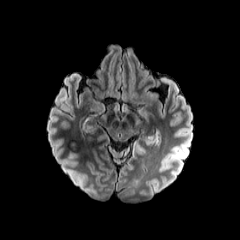
FLAIR MRI.
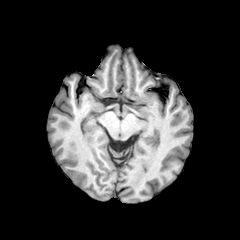
T1-weighted MRI.
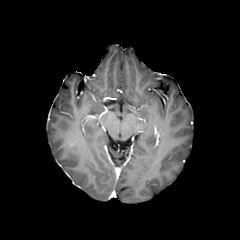
Post-contrast T1-weighted MR.
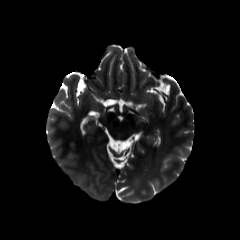
Same slice, T2-weighted MR image.
Image size 240x240, Brain
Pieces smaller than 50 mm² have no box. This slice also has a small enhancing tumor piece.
The peritumoral edema appears at [x1=68, y1=143, x2=77, y2=158].